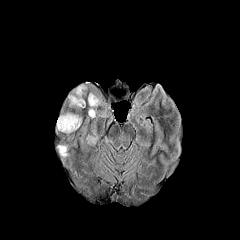
FLAIR magnetic resonance.
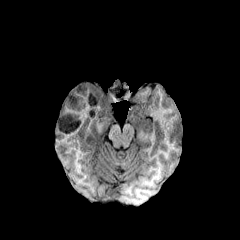
T1-weighted magnetic resonance.
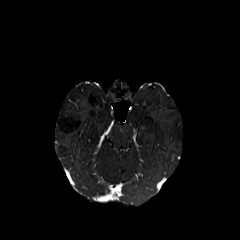
Post-contrast T1-weighted MR image of the same slice.
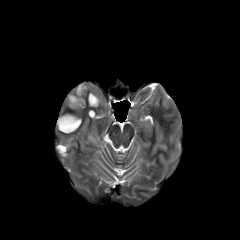
T2-weighted MRI of the same slice.
Axial view; Head; Image size 240x240
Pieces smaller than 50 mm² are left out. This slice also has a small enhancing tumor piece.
The largest necrotic tumor core region is bounded by 71:99:80:109. The 4 largest peritumoral edema regions are bounded by 68:85:86:107, 88:93:101:107, 57:114:81:133, 59:147:66:155.